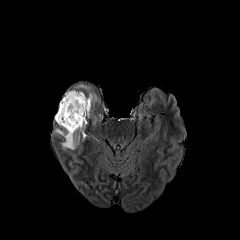
FLAIR MR image.
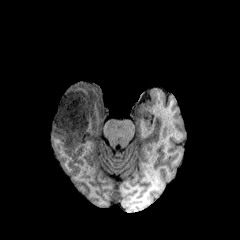
T1-weighted MRI.
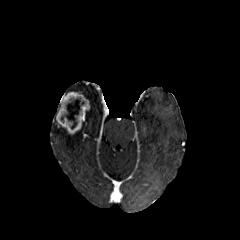
Same slice, post-contrast T1-weighted MRI.
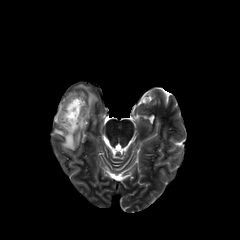
Same slice, T2-weighted MR.
Axial plane. 240x240.
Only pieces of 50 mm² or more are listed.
peritumoral edema: bounding box 72 84 97 118, 54 128 79 150
necrotic tumor core: bounding box 61 98 80 128
enhancing tumor: bounding box 55 91 90 134